Axial plane
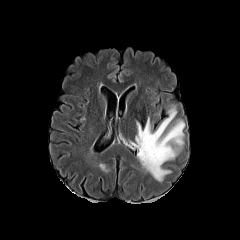
FLAIR magnetic resonance.
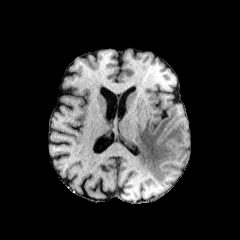
T1-weighted magnetic resonance of the same slice.
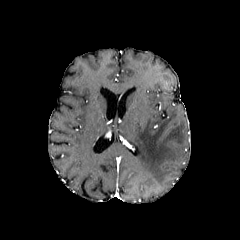
Post-contrast T1-weighted MR image.
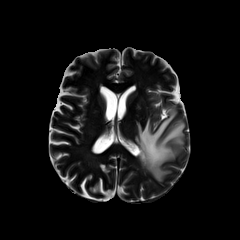
T2-weighted MR image.
* peritumoral edema: {"x1": 129, "y1": 106, "x2": 184, "y2": 181}